Head | Axial slice
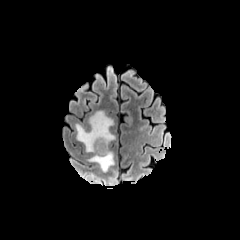
FLAIR MRI.
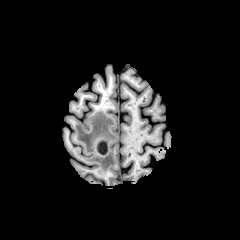
T1-weighted magnetic resonance.
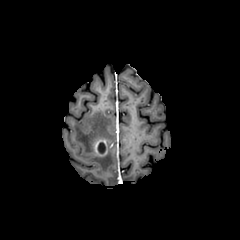
Post-contrast T1-weighted MR.
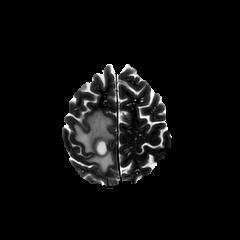
T2-weighted MR image.
enhancing tumor = 94:139:107:156
necrotic tumor core = 98:142:105:153
peritumoral edema = 75:111:114:172